Head, Axial slice, Slice 50 of 155, Image width 240 mm, 1.00 mm slice spacing
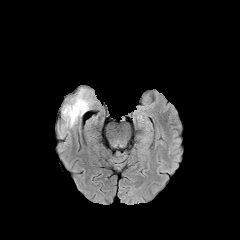
FLAIR MR image.
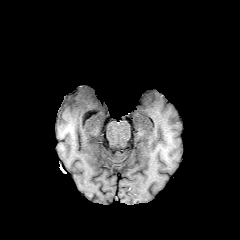
T1-weighted MRI.
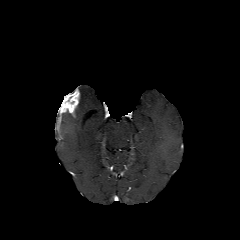
Post-contrast T1-weighted MRI of the same slice.
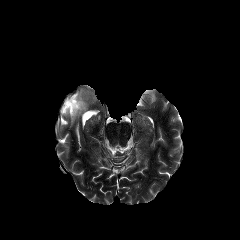
Same slice, T2-weighted MR image.
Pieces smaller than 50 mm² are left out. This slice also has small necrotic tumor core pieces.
enhancing tumor: bbox(59, 89, 79, 117) | peritumoral edema: bbox(61, 87, 96, 130)